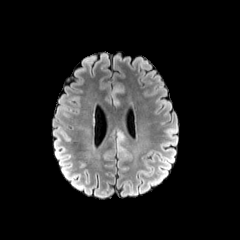
FLAIR MR.
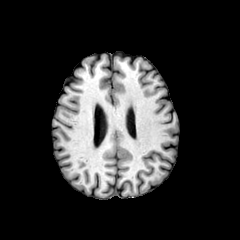
T1-weighted MRI.
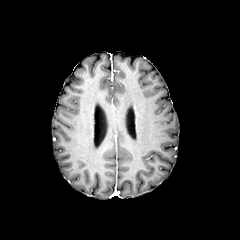
Post-contrast T1-weighted magnetic resonance.
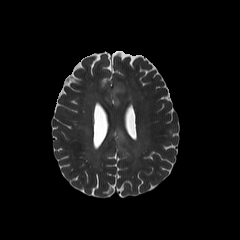
Same slice, T2-weighted MR image.
Head
The peritumoral edema is bounded by <bbox>111, 86, 124, 106</bbox>.